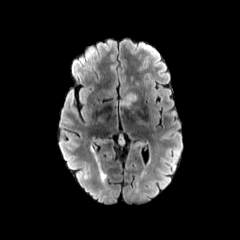
FLAIR MR.
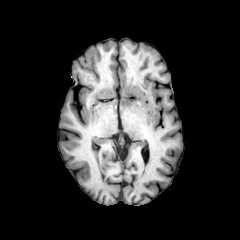
Same slice, T1-weighted magnetic resonance.
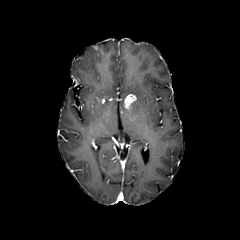
Same slice, post-contrast T1-weighted MR image.
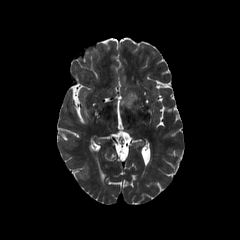
Same slice, T2-weighted MR.
Head
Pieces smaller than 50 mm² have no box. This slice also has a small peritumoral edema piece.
enhancing tumor at 124, 94, 136, 108